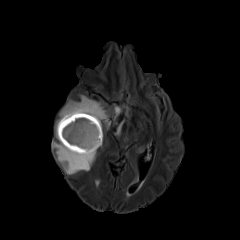
FLAIR magnetic resonance.
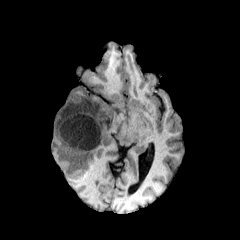
T1-weighted magnetic resonance.
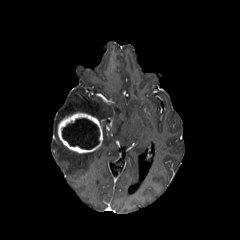
Same slice, post-contrast T1-weighted MR image.
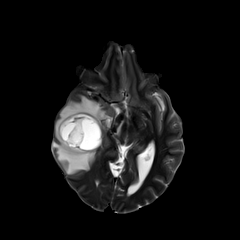
T2-weighted MR.
Axial plane, Image size 240x240
The necrotic tumor core appears at [x1=62, y1=118, x2=99, y2=149]. The enhancing tumor is bounded by [x1=57, y1=112, x2=102, y2=153]. 3 peritumoral edema regions are located at [x1=115, y1=121, x2=123, y2=135], [x1=114, y1=106, x2=120, y2=118], [x1=52, y1=95, x2=108, y2=174].